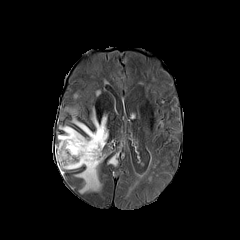
FLAIR MR.
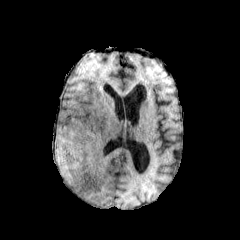
T1-weighted MR of the same slice.
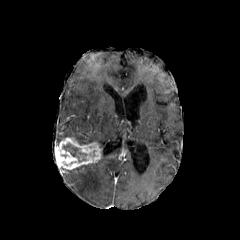
Post-contrast T1-weighted MR image of the same slice.
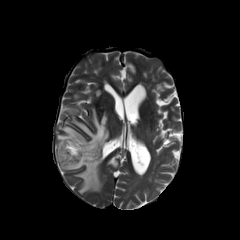
Same slice, T2-weighted MR.
Axial plane. Head.
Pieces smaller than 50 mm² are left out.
enhancing tumor — box(55, 137, 102, 172)
peritumoral edema — box(58, 109, 108, 148); box(75, 159, 101, 193); box(108, 157, 117, 166)
necrotic tumor core — box(62, 143, 86, 156)